Head; Slice 78 of 155; Axial view; 240x240
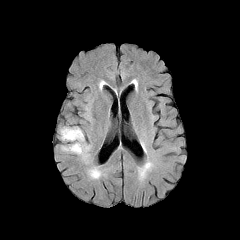
FLAIR MR image.
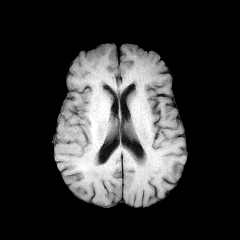
T1-weighted MRI.
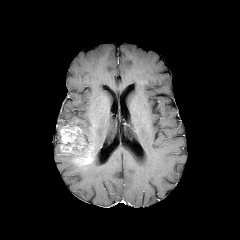
Same slice, post-contrast T1-weighted MR.
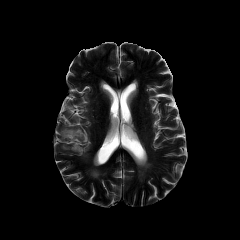
T2-weighted MR of the same slice.
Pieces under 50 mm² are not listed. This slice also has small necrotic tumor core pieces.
enhancing tumor: 77 150 92 164, 60 126 85 152 | peritumoral edema: 79 143 90 156